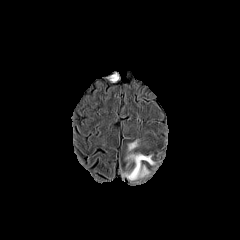
FLAIR MR.
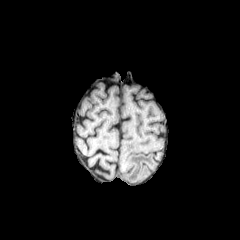
T1-weighted magnetic resonance.
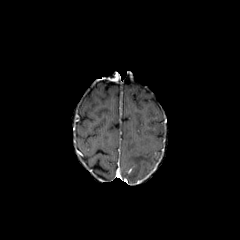
Post-contrast T1-weighted MRI of the same slice.
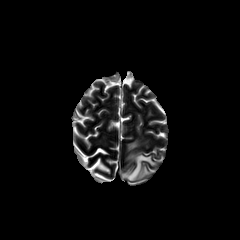
T2-weighted MR image.
Image size 240x240; Axial view
The peritumoral edema lies within bbox(122, 140, 156, 181).